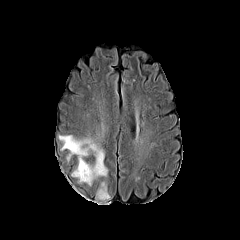
FLAIR MR.
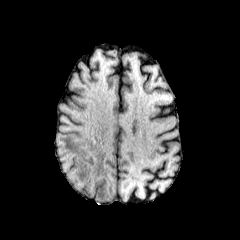
T1-weighted MR image.
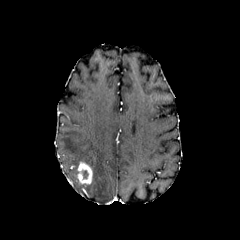
Post-contrast T1-weighted MR image.
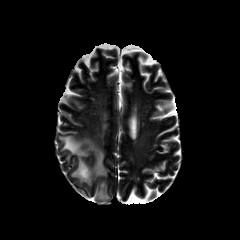
T2-weighted MRI.
Head
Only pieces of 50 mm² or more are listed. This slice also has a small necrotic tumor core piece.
The enhancing tumor appears at (75,162,92,184). The 2 largest peritumoral edema regions appear at (96,182,110,201), (59,135,108,185).